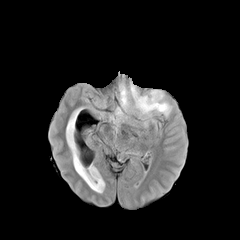
FLAIR MR.
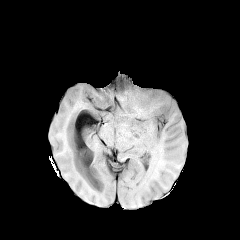
T1-weighted MRI.
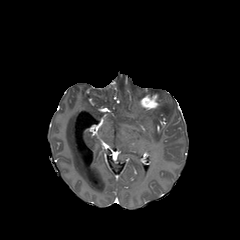
Post-contrast T1-weighted MRI of the same slice.
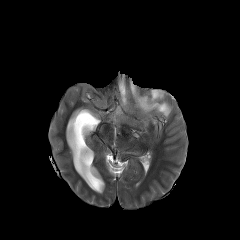
T2-weighted MR.
Brain.
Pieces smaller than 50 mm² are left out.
peritumoral edema: [130,83,171,116], [119,83,128,109] | enhancing tumor: [140,94,158,109]